FLAIR MR image.
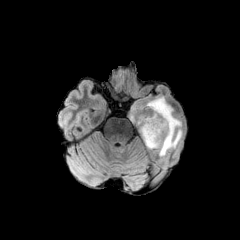
T1-weighted MR image.
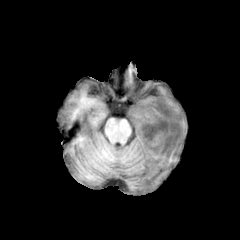
Post-contrast T1-weighted MR image.
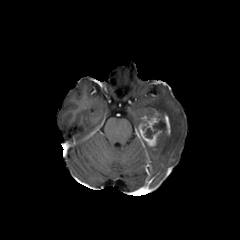
T2-weighted MR image.
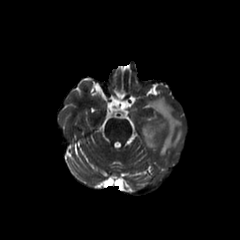
Brain
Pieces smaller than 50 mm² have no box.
enhancing tumor: {"x1": 138, "y1": 109, "x2": 170, "y2": 147} | peritumoral edema: {"x1": 144, "y1": 96, "x2": 183, "y2": 156} | necrotic tumor core: {"x1": 145, "y1": 128, "x2": 156, "y2": 138}, {"x1": 153, "y1": 119, "x2": 166, "y2": 132}